FLAIR MRI.
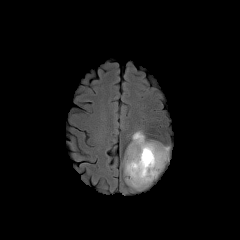
T1-weighted MR image.
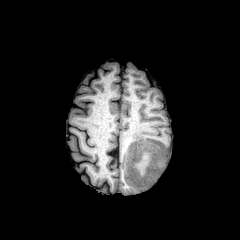
Post-contrast T1-weighted MR.
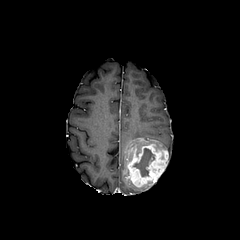
T2-weighted MR.
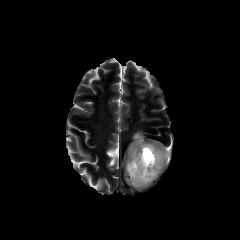
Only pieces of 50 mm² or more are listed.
enhancing tumor = 124, 138, 168, 188
necrotic tumor core = 133, 148, 154, 176
peritumoral edema = 125, 131, 145, 155; 126, 182, 145, 190